Slice index 90
FLAIR MRI.
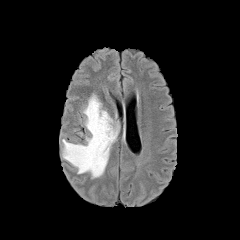
T1-weighted MR.
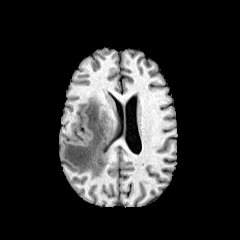
Post-contrast T1-weighted MR.
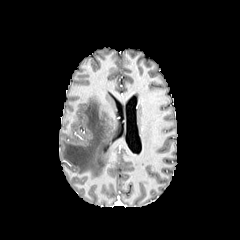
T2-weighted magnetic resonance.
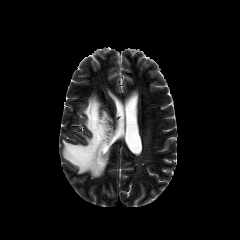
<segmentation>
  <peritumoral_edema>(62,94,119,178)</peritumoral_edema>
</segmentation>